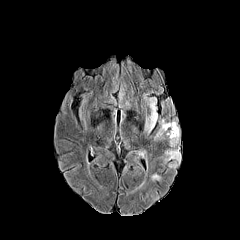
FLAIR magnetic resonance.
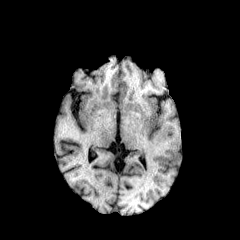
Same slice, T1-weighted magnetic resonance.
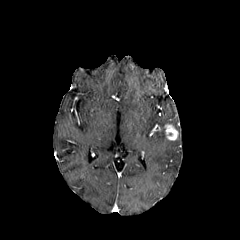
Same slice, post-contrast T1-weighted MR image.
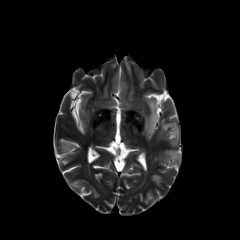
Same slice, T2-weighted MRI.
Axial plane | Head
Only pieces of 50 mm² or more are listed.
Segmented structures:
- peritumoral edema: x1=155, y1=119, x2=179, y2=146; x1=165, y1=148, x2=181, y2=163; x1=145, y1=100, x2=157, y2=132
- enhancing tumor: x1=164, y1=124, x2=178, y2=140